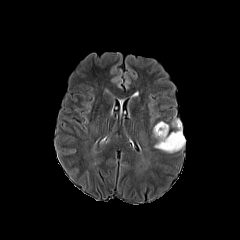
FLAIR MRI.
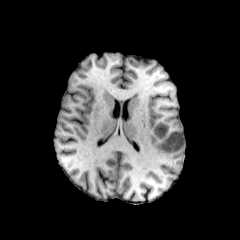
Same slice, T1-weighted MR.
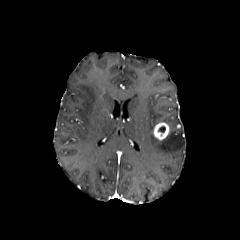
Post-contrast T1-weighted MR.
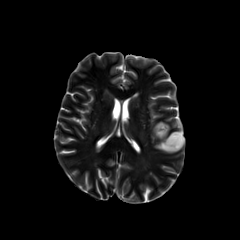
Same slice, T2-weighted MR.
Head; Axial view
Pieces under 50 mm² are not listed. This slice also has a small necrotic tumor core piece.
The largest enhancing tumor region lies within <bbox>153, 122, 168, 140</bbox>. The peritumoral edema appears at <bbox>154, 119, 185, 153</bbox>.